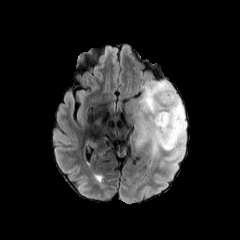
FLAIR magnetic resonance.
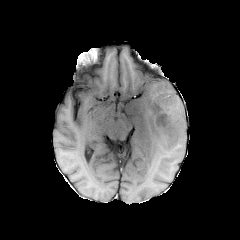
T1-weighted MR of the same slice.
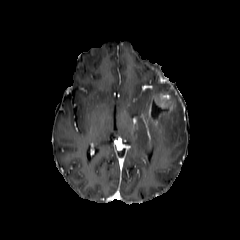
Post-contrast T1-weighted MR image.
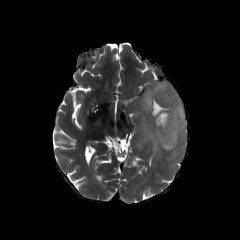
T2-weighted MRI.
Brain.
enhancing_tumor:
  - box(148, 91, 176, 124)
peritumoral_edema:
  - box(130, 80, 186, 154)
necrotic_tumor_core:
  - box(151, 101, 168, 118)